Slice 75/155. Axial view. Image covers 240 mm x 240 mm. Brain.
FLAIR magnetic resonance.
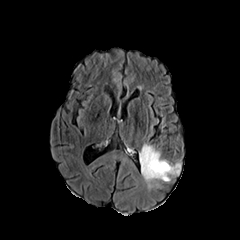
T1-weighted MR image.
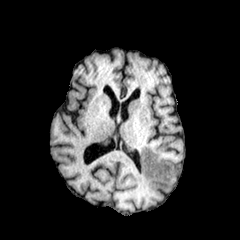
Post-contrast T1-weighted magnetic resonance.
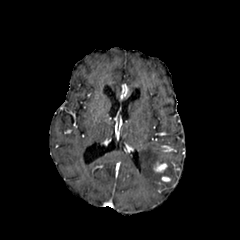
T2-weighted MRI.
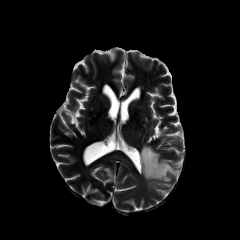
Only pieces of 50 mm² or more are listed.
peritumoral_edema:
  - bbox=[139, 144, 178, 188]
enhancing_tumor:
  - bbox=[153, 162, 167, 172]